Axial plane
FLAIR MR image.
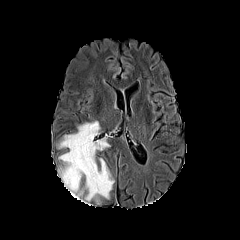
T1-weighted magnetic resonance.
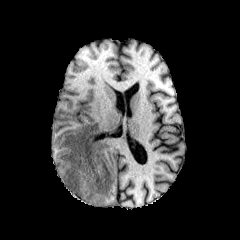
Post-contrast T1-weighted MR.
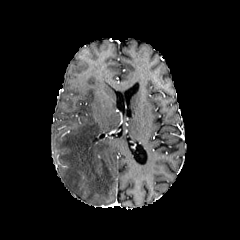
T2-weighted magnetic resonance.
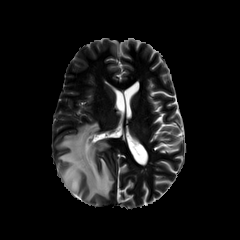
peritumoral_edema:
  - box(58, 121, 114, 203)